Head | 240x240 | Slice index 78
FLAIR MR.
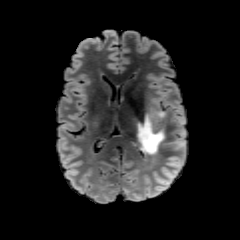
T1-weighted MR image.
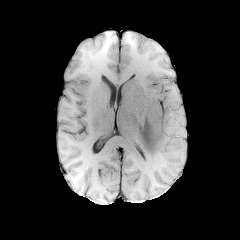
Post-contrast T1-weighted magnetic resonance.
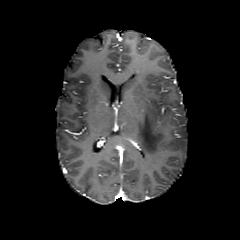
T2-weighted MR image.
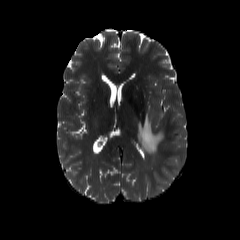
peritumoral edema — bbox(138, 111, 164, 154)